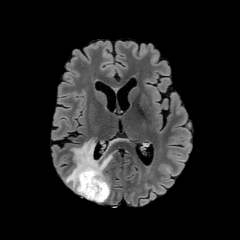
FLAIR MR image.
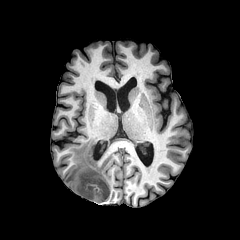
T1-weighted MR.
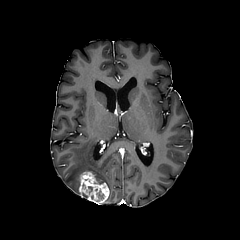
Post-contrast T1-weighted MRI.
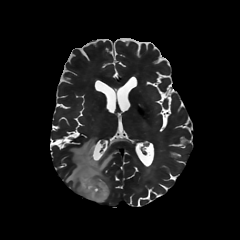
Same slice, T2-weighted MRI.
Axial plane. Head.
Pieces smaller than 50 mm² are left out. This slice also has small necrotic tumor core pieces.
enhancing tumor = <bbox>78, 171, 109, 204</bbox>
peritumoral edema = <bbox>64, 139, 112, 194</bbox>